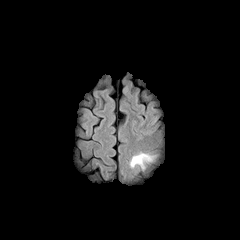
FLAIR magnetic resonance.
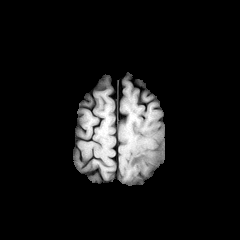
T1-weighted MR.
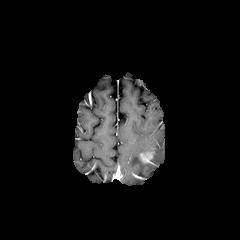
Post-contrast T1-weighted MRI.
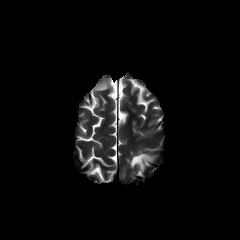
T2-weighted MR.
Axial view; 240x240
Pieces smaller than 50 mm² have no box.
peritumoral edema: bbox(130, 152, 148, 170) | enhancing tumor: bbox(140, 153, 152, 162)